FLAIR MRI.
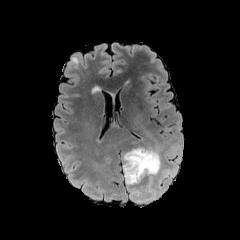
T1-weighted MRI.
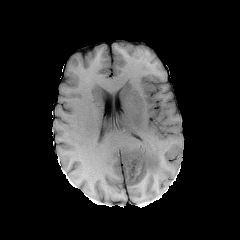
Post-contrast T1-weighted MRI.
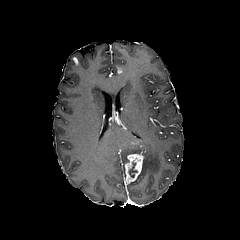
T2-weighted MR.
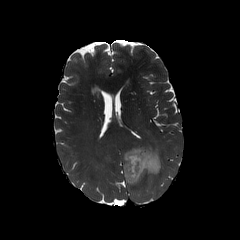
Axial view
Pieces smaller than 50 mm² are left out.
{
  "necrotic_tumor_core": [
    "(130,163,137,177)"
  ],
  "peritumoral_edema": [
    "(131,189,141,195)",
    "(159,174,166,191)",
    "(122,147,161,193)"
  ],
  "enhancing_tumor": [
    "(124,153,143,183)"
  ]
}